Slice 83 of 155. Brain. Axial plane. Image width 240 mm.
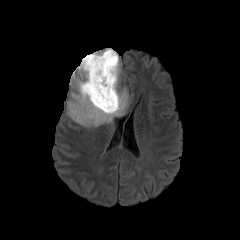
FLAIR MR.
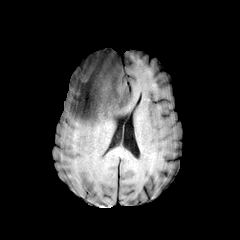
T1-weighted magnetic resonance.
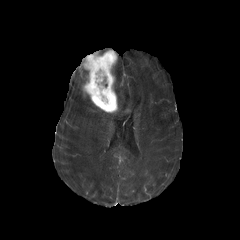
Post-contrast T1-weighted MR of the same slice.
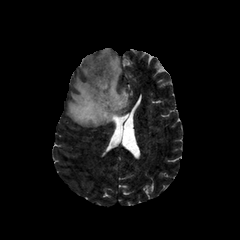
T2-weighted MRI.
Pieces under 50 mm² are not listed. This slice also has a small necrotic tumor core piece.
Segmented structures:
- enhancing tumor: rect(79, 49, 117, 112)
- peritumoral edema: rect(66, 55, 129, 127)